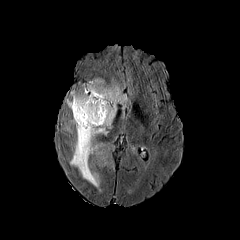
FLAIR MR.
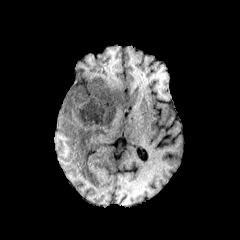
Same slice, T1-weighted magnetic resonance.
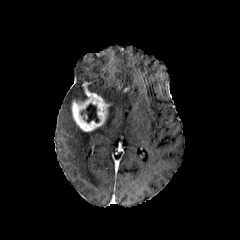
Post-contrast T1-weighted MRI.
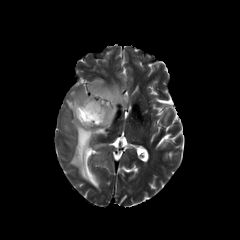
T2-weighted magnetic resonance.
Brain | 240x240 | Axial plane
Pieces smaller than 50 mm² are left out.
peritumoral edema: x1=70 y1=78 x2=128 y2=188, x1=66 y1=88 x2=87 y2=108 | necrotic tumor core: x1=81 y1=104 x2=99 y2=122 | enhancing tumor: x1=71 y1=92 x2=110 y2=131